FLAIR magnetic resonance.
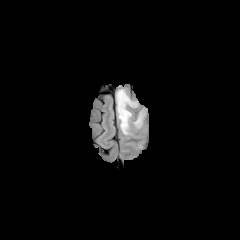
T1-weighted MR.
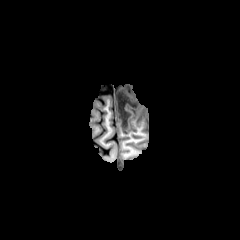
Post-contrast T1-weighted MRI.
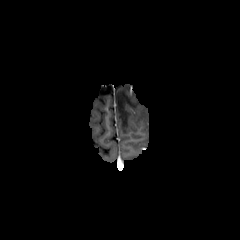
T2-weighted magnetic resonance.
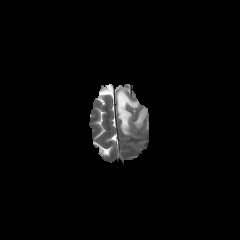
Image size 240x240 | Brain | Axial plane
<segmentation>
  <peritumoral_edema><box>134,108,147,128</box>, <box>116,89,139,134</box></peritumoral_edema>
</segmentation>